FLAIR MR image.
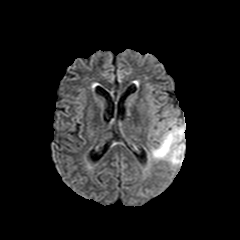
T1-weighted MR image.
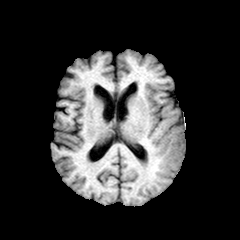
Post-contrast T1-weighted MR image.
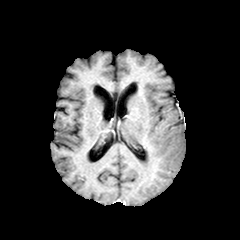
T2-weighted MRI.
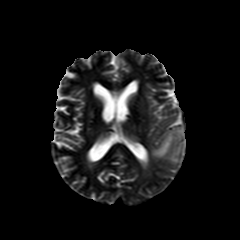
Axial plane
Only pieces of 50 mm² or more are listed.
peritumoral edema: box(151, 118, 185, 167)